FLAIR MR image.
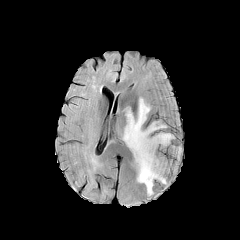
T1-weighted MRI.
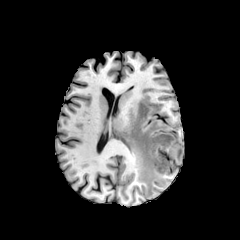
Post-contrast T1-weighted MRI.
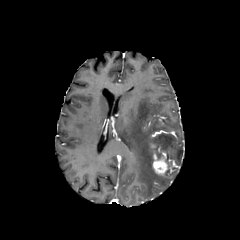
T2-weighted magnetic resonance.
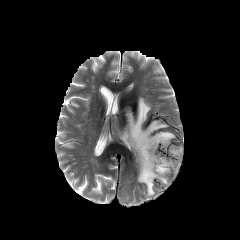
Axial slice, Brain
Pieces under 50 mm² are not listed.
The largest enhancing tumor region is at region(152, 149, 176, 175). The 2 largest peritumoral edema regions are bounded by region(121, 97, 174, 196); region(169, 145, 181, 160).